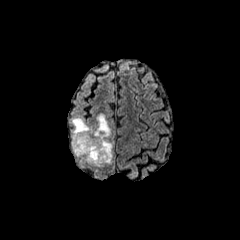
FLAIR MR image.
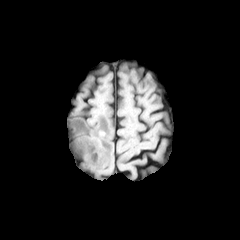
T1-weighted magnetic resonance.
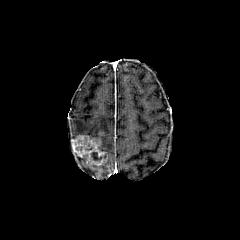
Post-contrast T1-weighted MRI of the same slice.
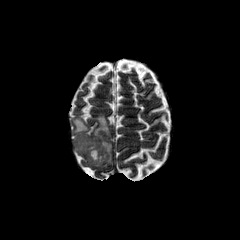
T2-weighted MR image.
Brain.
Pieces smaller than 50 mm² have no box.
Findings:
• enhancing tumor: [x1=71, y1=135, x2=107, y2=165]
• peritumoral edema: [x1=72, y1=114, x2=112, y2=163]
• necrotic tumor core: [x1=91, y1=152, x2=105, y2=160]